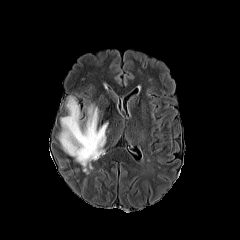
FLAIR MRI.
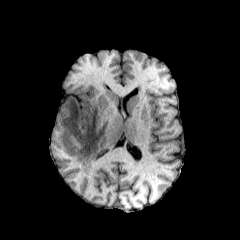
T1-weighted MRI.
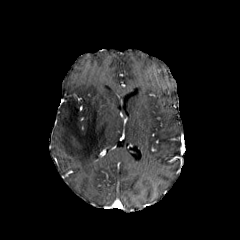
Post-contrast T1-weighted MRI.
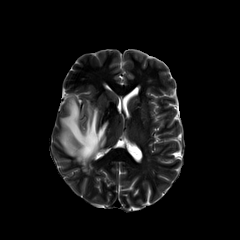
Same slice, T2-weighted magnetic resonance.
240x240 px | Brain
peritumoral edema: 58, 96, 108, 173